Image width 240 mm | 240x240 px | Axial view | Slice 87/155 | Head
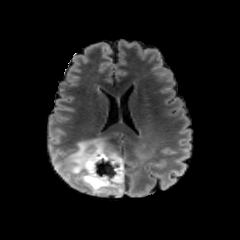
FLAIR MRI.
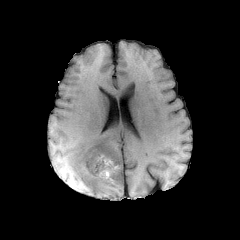
Same slice, T1-weighted MR.
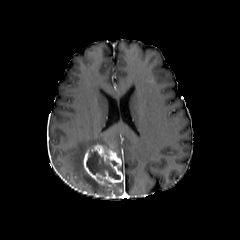
Post-contrast T1-weighted MR image.
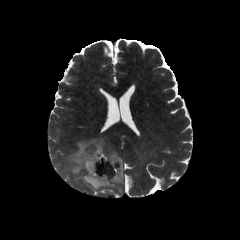
T2-weighted MR.
The peritumoral edema appears at [65, 138, 124, 189]. The enhancing tumor is at [83, 144, 122, 186]. The necrotic tumor core is at [86, 151, 119, 179].